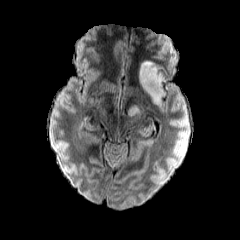
FLAIR MRI.
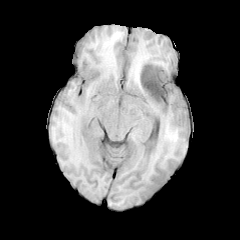
T1-weighted magnetic resonance.
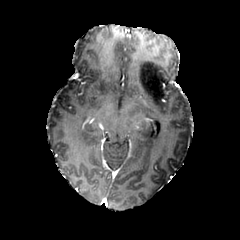
Post-contrast T1-weighted magnetic resonance.
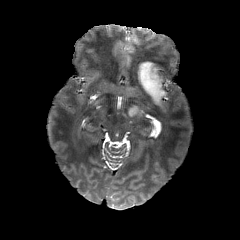
T2-weighted MR of the same slice.
Brain | Axial view
{"peritumoral_edema": ["region(138, 60, 168, 105)", "region(128, 107, 137, 115)"]}